FLAIR magnetic resonance.
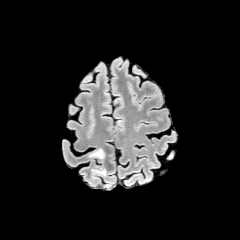
T1-weighted MR.
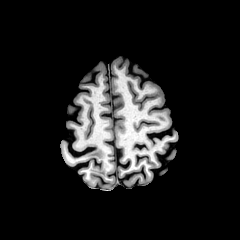
Post-contrast T1-weighted MR image.
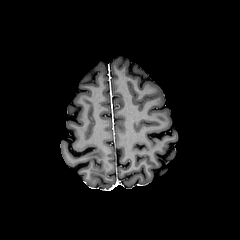
T2-weighted MRI.
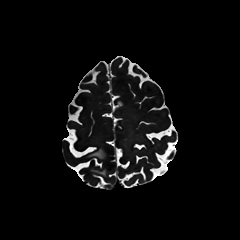
Image size 240x240 | Axial plane | Head
{"peritumoral_edema": ["[89, 149, 104, 158]", "[92, 169, 105, 175]"]}